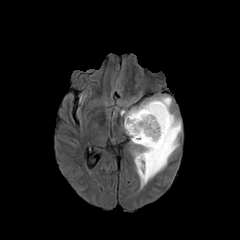
FLAIR MR.
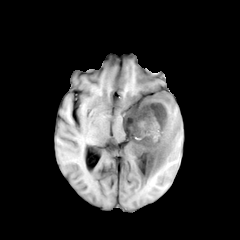
T1-weighted MR image.
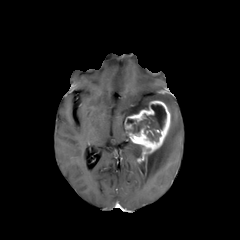
Post-contrast T1-weighted MR.
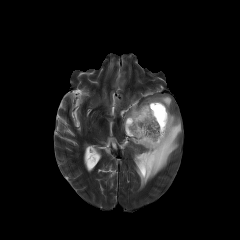
Same slice, T2-weighted MRI.
Axial view, 240x240, Brain
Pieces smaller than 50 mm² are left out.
necrotic_tumor_core:
  - bbox(133, 104, 166, 139)
peritumoral_edema:
  - bbox(120, 95, 181, 188)
enhancing_tumor:
  - bbox(124, 100, 170, 163)